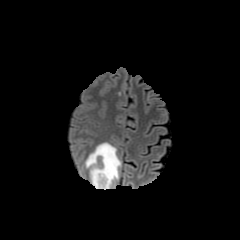
FLAIR MRI.
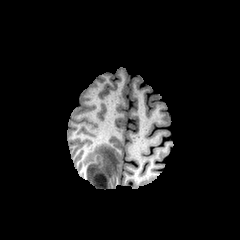
T1-weighted MR of the same slice.
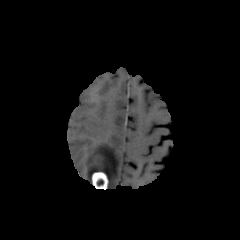
Same slice, post-contrast T1-weighted MR.
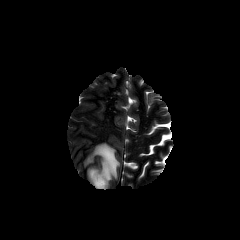
T2-weighted magnetic resonance.
Head. 240x240.
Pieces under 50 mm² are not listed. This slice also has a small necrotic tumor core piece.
The enhancing tumor lies within bbox(91, 172, 108, 189). The peritumoral edema is at bbox(84, 142, 121, 188).